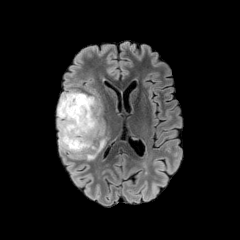
FLAIR MR.
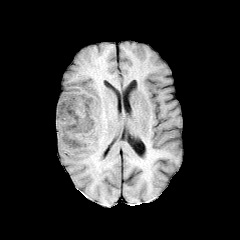
T1-weighted MRI of the same slice.
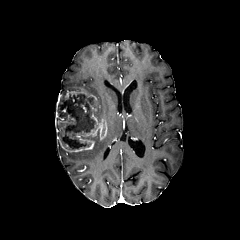
Same slice, post-contrast T1-weighted MR.
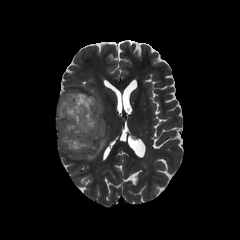
T2-weighted MR image.
Axial slice
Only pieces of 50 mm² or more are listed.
The largest necrotic tumor core region is located at 59:94:95:149. The largest peritumoral edema region is located at 69:137:106:160. The largest enhancing tumor region appears at 56:91:107:152.